Slice 113/155
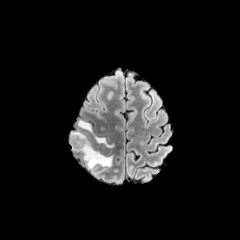
FLAIR MR image.
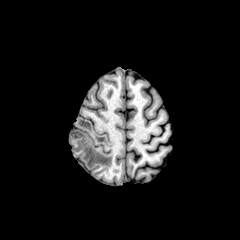
T1-weighted MR image of the same slice.
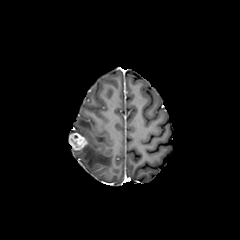
Same slice, post-contrast T1-weighted MRI.
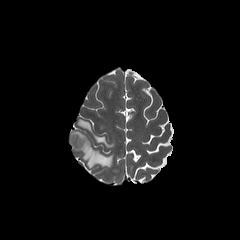
Same slice, T2-weighted magnetic resonance.
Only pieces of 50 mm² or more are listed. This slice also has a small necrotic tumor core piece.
peritumoral edema at (94,136,113,148), (77,119,92,132), (70,130,112,168)
enhancing tumor at (69,132,87,150)